FLAIR MRI.
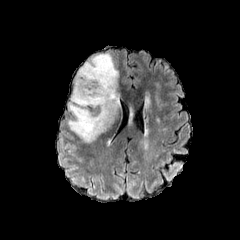
T1-weighted MR image.
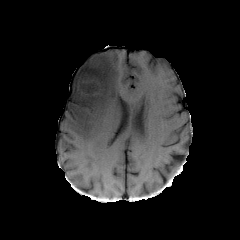
Post-contrast T1-weighted MR image.
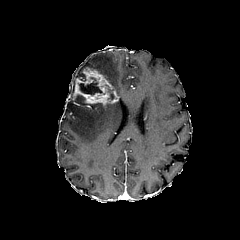
T2-weighted magnetic resonance.
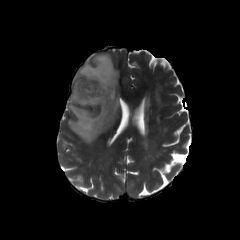
Axial view.
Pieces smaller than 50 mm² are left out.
<segmentation>
  <enhancing_tumor>[72, 67, 118, 105]</enhancing_tumor>
  <peritumoral_edema>[67, 53, 120, 142]</peritumoral_edema>
  <necrotic_tumor_core>[79, 81, 102, 94]</necrotic_tumor_core>
</segmentation>